Slice 86 of 155 | Axial plane | Head
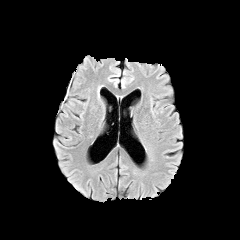
FLAIR MR.
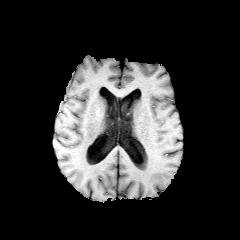
T1-weighted MR image of the same slice.
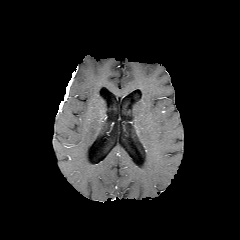
Post-contrast T1-weighted MR image.
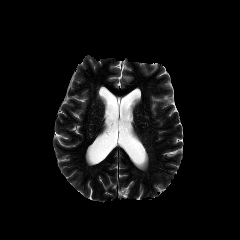
T2-weighted MRI.
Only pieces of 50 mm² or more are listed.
<segmentation>
  <enhancing_tumor>64,78,71,100</enhancing_tumor>
</segmentation>